Slice 115/155, Brain
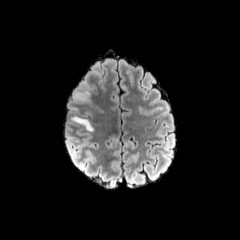
FLAIR MRI.
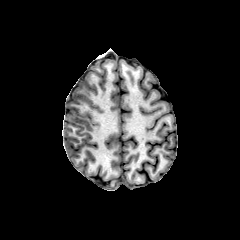
T1-weighted MR.
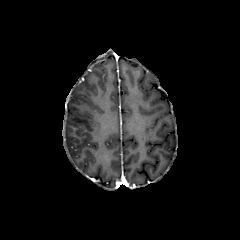
Post-contrast T1-weighted MRI of the same slice.
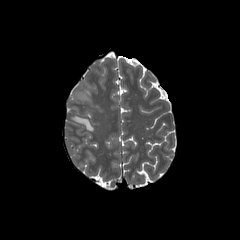
T2-weighted MRI of the same slice.
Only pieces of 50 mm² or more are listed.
peritumoral edema — 70:114:93:130, 71:82:90:102